Head | Axial plane
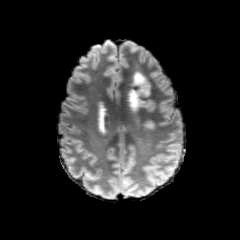
FLAIR MR.
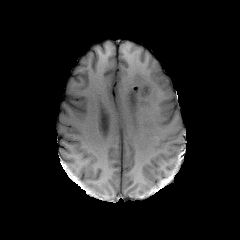
T1-weighted MRI.
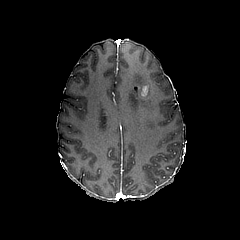
Post-contrast T1-weighted MR.
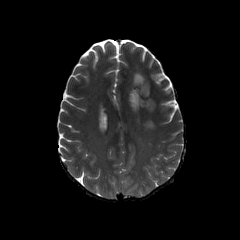
T2-weighted MR image.
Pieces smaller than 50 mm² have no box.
Segmented structures:
* enhancing tumor: [141, 85, 148, 96]
* peritumoral edema: [129, 71, 150, 109]